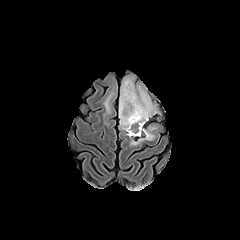
FLAIR magnetic resonance.
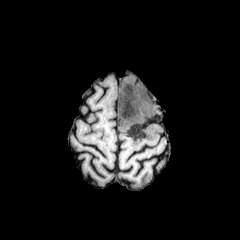
T1-weighted MRI.
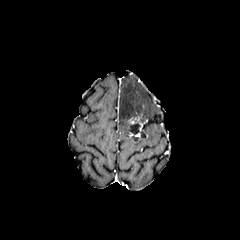
Post-contrast T1-weighted magnetic resonance.
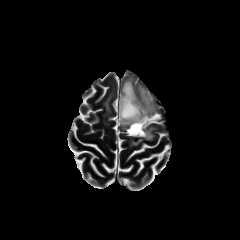
T2-weighted MRI.
Brain. Image size 240x240.
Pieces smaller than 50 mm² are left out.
<segmentation>
  <peritumoral_edema>[104,94,111,112], [119,77,157,131], [131,126,155,145]</peritumoral_edema>
  <enhancing_tumor>[128,116,147,131]</enhancing_tumor>
  <necrotic_tumor_core>[121,90,141,119], [128,123,140,134]</necrotic_tumor_core>
</segmentation>